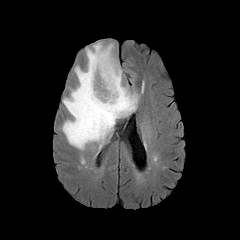
FLAIR MR.
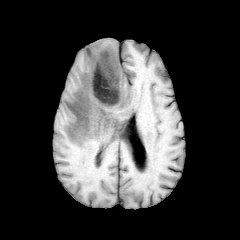
T1-weighted magnetic resonance.
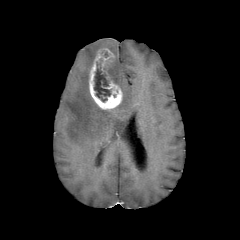
Post-contrast T1-weighted MRI.
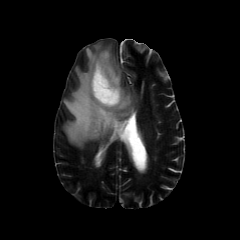
Same slice, T2-weighted MR.
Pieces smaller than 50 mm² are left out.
The enhancing tumor appears at 89 48 122 109. The peritumoral edema is bounded by 62 42 138 149. The largest necrotic tumor core region is located at 94 63 110 101.